FLAIR MR image.
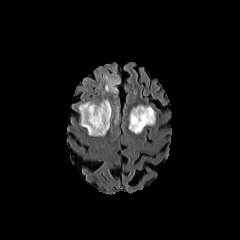
T1-weighted magnetic resonance.
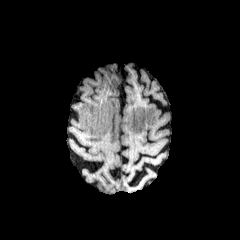
Post-contrast T1-weighted magnetic resonance.
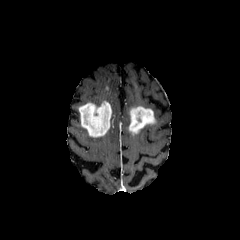
T2-weighted MRI.
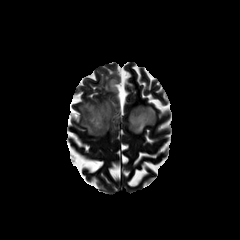
240x240 px.
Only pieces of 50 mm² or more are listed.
• peritumoral edema: (left=114, top=105, right=118, bottom=123), (left=103, top=71, right=120, bottom=94)
• enhancing tumor: (left=79, top=101, right=111, bottom=137), (left=129, top=106, right=155, bottom=133)